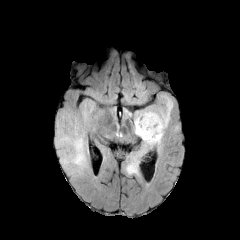
FLAIR magnetic resonance.
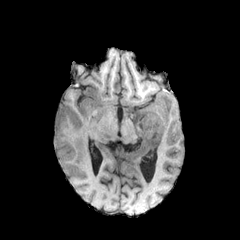
Same slice, T1-weighted MR.
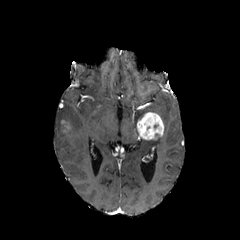
Post-contrast T1-weighted magnetic resonance.
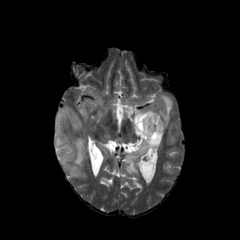
T2-weighted MR of the same slice.
Axial plane, Head, Image size 240x240
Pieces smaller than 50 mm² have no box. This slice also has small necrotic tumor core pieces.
2 enhancing tumor regions appear at l=61, t=120, r=71, b=133; l=137, t=112, r=164, b=140. The 3 largest peritumoral edema regions are located at l=134, t=94, r=173, b=135; l=55, t=103, r=89, b=176; l=122, t=137, r=162, b=178.